Brain, Axial slice, Image covers 240 mm x 240 mm, 240x240 px
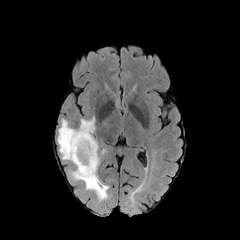
FLAIR MR.
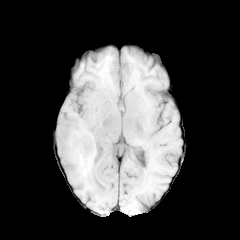
T1-weighted MR image of the same slice.
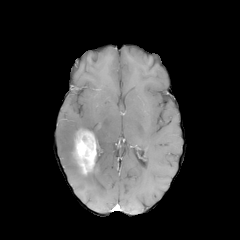
Same slice, post-contrast T1-weighted magnetic resonance.
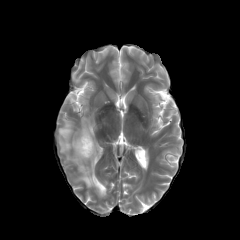
Same slice, T2-weighted MRI.
enhancing tumor: bounding box x1=74 y1=129 x2=97 y2=174
peritumoral edema: bounding box x1=57 y1=116 x2=108 y2=200